Image covers 240 mm x 240 mm, Slice 72 of 155
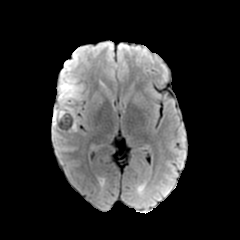
FLAIR magnetic resonance.
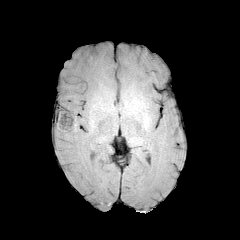
T1-weighted MR.
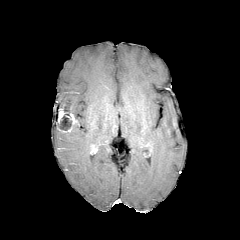
Post-contrast T1-weighted magnetic resonance.
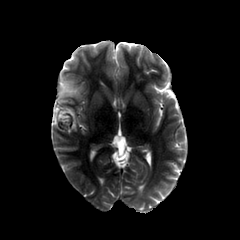
T2-weighted MR of the same slice.
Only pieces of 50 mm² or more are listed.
The enhancing tumor is bounded by 56:108:77:133. The largest peritumoral edema region is bounded by 52:81:83:131. The largest necrotic tumor core region is at 56:115:71:130.